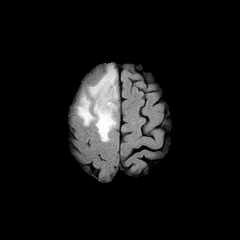
FLAIR MR.
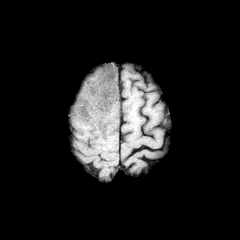
T1-weighted MR.
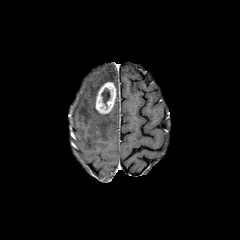
Post-contrast T1-weighted MR of the same slice.
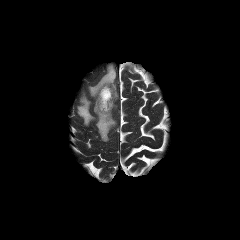
T2-weighted MR image of the same slice.
Axial plane
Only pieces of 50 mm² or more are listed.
necrotic tumor core — [x1=102, y1=88, x2=110, y2=105]
enhancing tumor — [x1=95, y1=82, x2=116, y2=114]
peritumoral edema — [x1=88, y1=66, x2=116, y2=101], [x1=78, y1=94, x2=116, y2=141]